FLAIR MR.
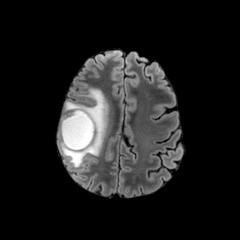
T1-weighted MRI.
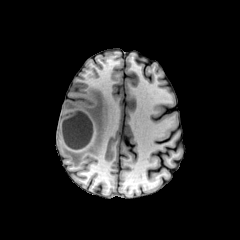
Post-contrast T1-weighted MR image.
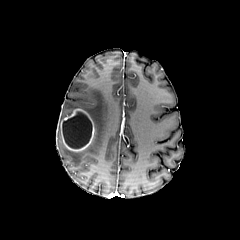
T2-weighted MRI.
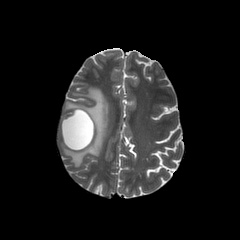
Brain, Axial plane
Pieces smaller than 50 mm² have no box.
necrotic tumor core = left=62, top=112, right=92, bottom=148
enhancing tumor = left=59, top=108, right=94, bottom=151
peritumoral edema = left=58, top=88, right=108, bottom=167